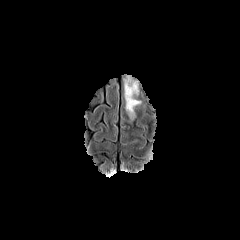
FLAIR magnetic resonance.
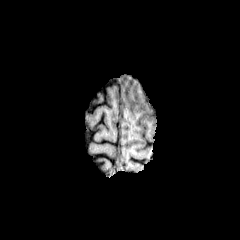
T1-weighted MRI.
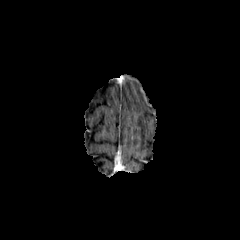
Post-contrast T1-weighted MR of the same slice.
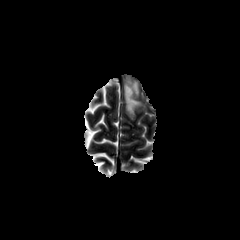
Same slice, T2-weighted MR image.
Image size 240x240 | Axial slice
Findings:
• peritumoral edema: 124,80,140,117